FLAIR MR image.
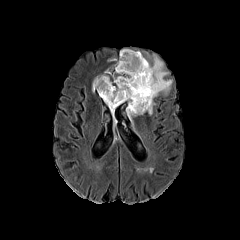
T1-weighted MR.
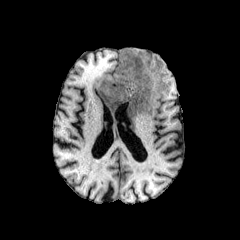
Post-contrast T1-weighted MR.
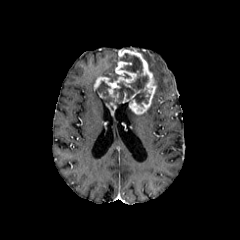
T2-weighted magnetic resonance.
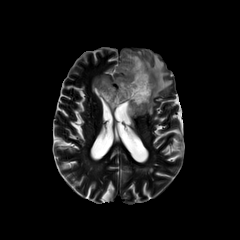
240x240; Axial slice
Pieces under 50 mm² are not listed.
The 2 largest enhancing tumor regions are located at box(106, 102, 116, 114); box(94, 49, 156, 114). The 4 largest peritumoral edema regions are bounded by box(126, 103, 138, 123); box(147, 100, 155, 115); box(143, 53, 172, 98); box(100, 70, 119, 79). The 3 largest necrotic tumor core regions are located at box(120, 53, 142, 73); box(96, 81, 134, 105); box(128, 75, 149, 104).